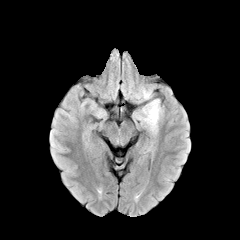
FLAIR MRI.
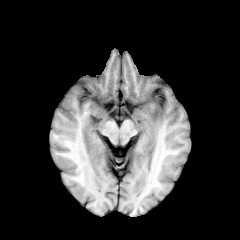
T1-weighted MRI.
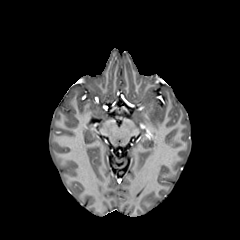
Same slice, post-contrast T1-weighted MR.
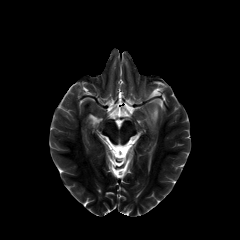
T2-weighted MRI.
240x240; Axial slice; Brain
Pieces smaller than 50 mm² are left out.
<segmentation>
  <peritumoral_edema>[142,99,161,131], [141,89,151,99]</peritumoral_edema>
</segmentation>